Head; Slice 69/155
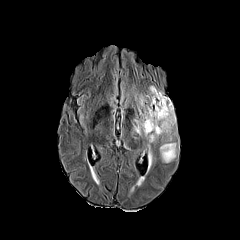
FLAIR magnetic resonance.
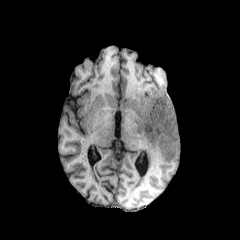
T1-weighted MR image.
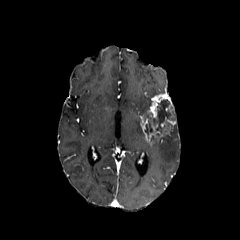
Same slice, post-contrast T1-weighted magnetic resonance.
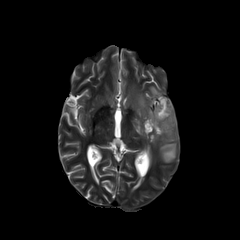
T2-weighted magnetic resonance.
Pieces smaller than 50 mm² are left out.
The 4 largest peritumoral edema regions are bounded by l=159, t=125, r=176, b=162; l=149, t=86, r=163, b=97; l=138, t=95, r=151, b=115; l=133, t=118, r=142, b=135. The largest enhancing tumor region is at l=140, t=94, r=176, b=145. The 2 largest necrotic tumor core regions are bounded by l=153, t=100, r=171, b=133; l=145, t=121, r=152, b=134.